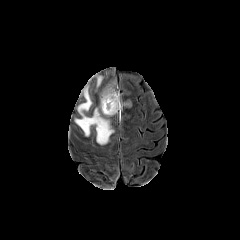
FLAIR MRI.
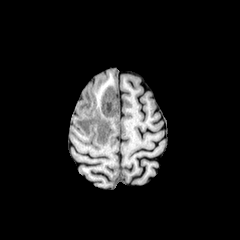
T1-weighted MRI of the same slice.
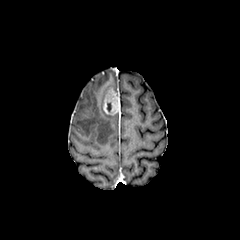
Post-contrast T1-weighted MR image of the same slice.
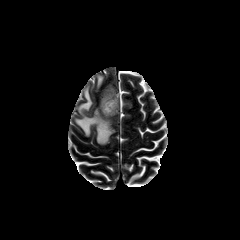
T2-weighted MR.
Brain, 240x240
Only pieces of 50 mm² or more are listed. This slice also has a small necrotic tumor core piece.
peritumoral edema: bounding box (97, 76, 102, 86), (75, 85, 114, 144), (100, 87, 112, 116)
enhancing tumor: bounding box (103, 89, 120, 114)